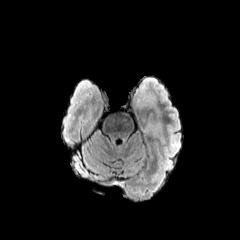
FLAIR magnetic resonance.
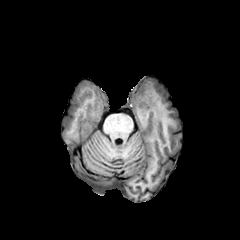
Same slice, T1-weighted magnetic resonance.
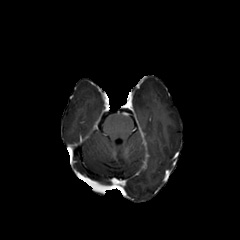
Post-contrast T1-weighted magnetic resonance.
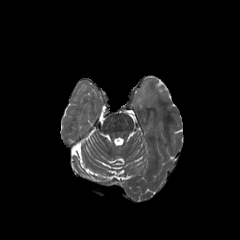
T2-weighted MRI.
Axial plane, Brain
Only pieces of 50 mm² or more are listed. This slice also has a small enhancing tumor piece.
{"peritumoral_edema": ["(138, 93, 154, 106)"]}